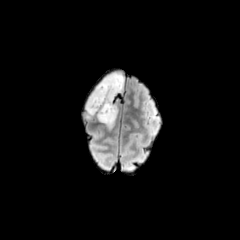
FLAIR MR image.
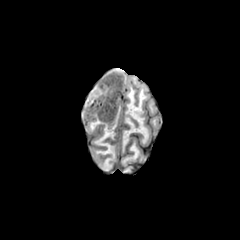
T1-weighted magnetic resonance of the same slice.
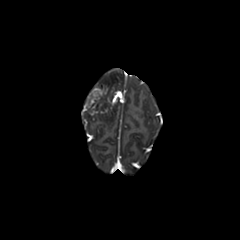
Post-contrast T1-weighted MR image.
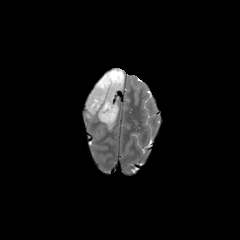
T2-weighted MR image.
240x240 | Brain
enhancing_tumor:
  - x1=85, y1=85, x2=119, y2=115
peritumoral_edema:
  - x1=86, y1=103, x2=118, y2=128
  - x1=97, y1=71, x2=124, y2=92